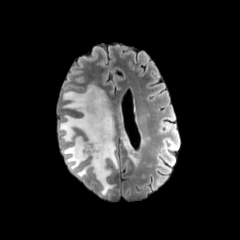
FLAIR MR.
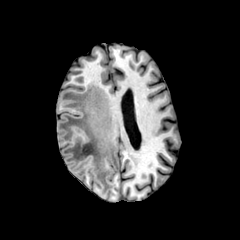
T1-weighted MR of the same slice.
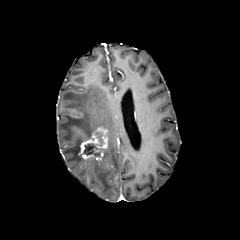
Post-contrast T1-weighted magnetic resonance.
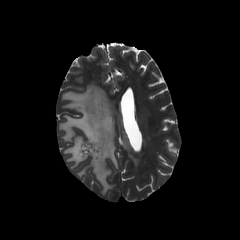
T2-weighted magnetic resonance.
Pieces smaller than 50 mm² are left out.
peritumoral_edema:
  - (120, 130, 141, 166)
  - (59, 84, 118, 195)
enhancing_tumor:
  - (78, 128, 108, 161)
necrotic_tumor_core:
  - (83, 143, 101, 157)
  - (96, 132, 103, 145)